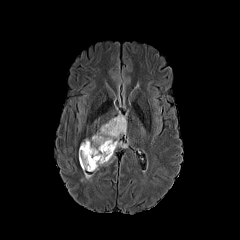
FLAIR MR.
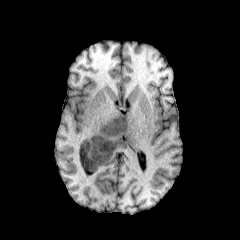
Same slice, T1-weighted MR.
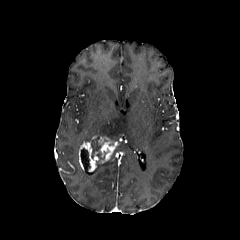
Post-contrast T1-weighted MRI.
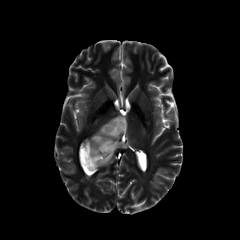
Same slice, T2-weighted MR image.
Head | Axial slice
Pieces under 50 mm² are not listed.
The largest enhancing tumor region is located at box(79, 136, 118, 171). 2 necrotic tumor core regions are located at box(91, 136, 104, 159); box(81, 148, 90, 170). The 2 largest peritumoral edema regions appear at box(95, 159, 111, 170); box(94, 114, 126, 140).